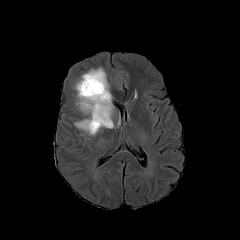
FLAIR MRI.
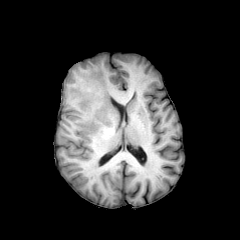
T1-weighted magnetic resonance.
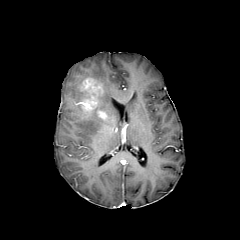
Post-contrast T1-weighted MR.
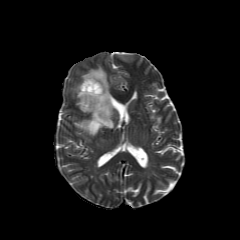
T2-weighted MR image of the same slice.
Axial slice
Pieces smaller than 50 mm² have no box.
Segmented structures:
- enhancing tumor: left=97, top=110, right=107, bottom=119; left=77, top=77, right=103, bottom=112
- peritumoral edema: left=75, top=68, right=113, bottom=135